FLAIR MRI.
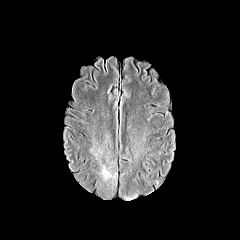
T1-weighted magnetic resonance.
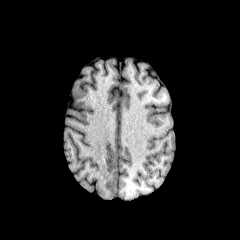
Post-contrast T1-weighted MR.
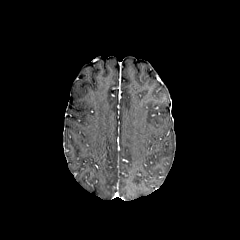
T2-weighted MR.
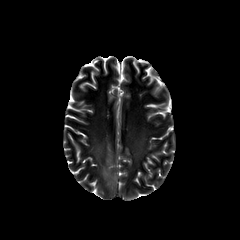
Head | 240x240 px
The peritumoral edema lies within [86,128,112,180].